Slice 107 of 155
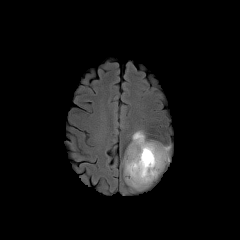
FLAIR magnetic resonance.
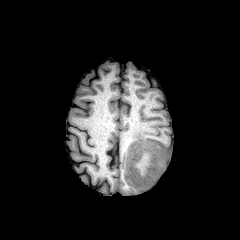
T1-weighted MRI.
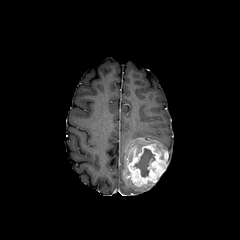
Same slice, post-contrast T1-weighted MR image.
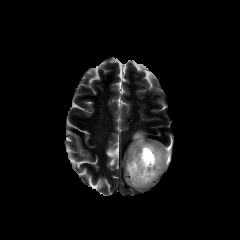
T2-weighted MR image.
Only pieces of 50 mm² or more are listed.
enhancing tumor: (123, 137, 168, 188)
necrotic tumor core: (135, 148, 154, 176)
peritumoral edema: (126, 181, 145, 190), (130, 130, 147, 144)